Head, Axial view, Slice 109 of 155, 240x240 px
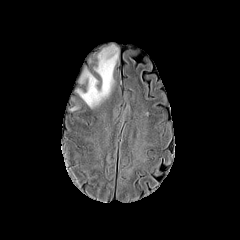
FLAIR MR image.
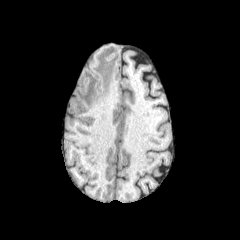
T1-weighted magnetic resonance of the same slice.
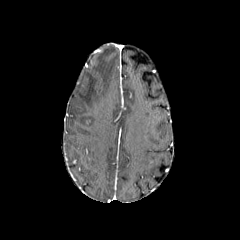
Post-contrast T1-weighted MR image.
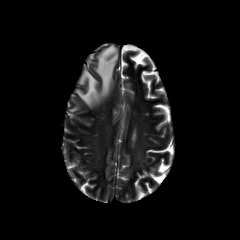
T2-weighted magnetic resonance.
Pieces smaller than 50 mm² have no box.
• peritumoral edema: 76 44 118 107